240x240 px
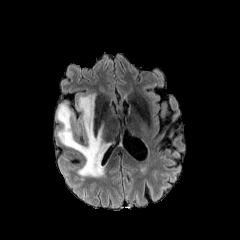
FLAIR magnetic resonance.
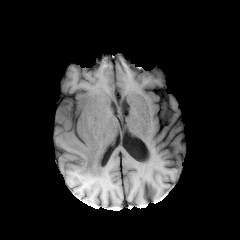
T1-weighted MR.
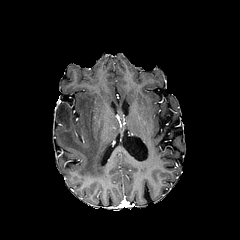
Post-contrast T1-weighted magnetic resonance.
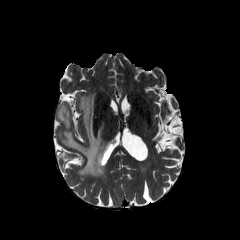
Same slice, T2-weighted magnetic resonance.
peritumoral edema: bounding box box(57, 93, 111, 176)